FLAIR MRI.
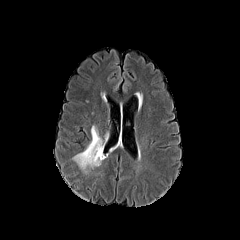
T1-weighted MR image.
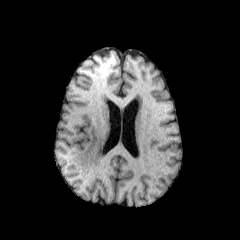
Post-contrast T1-weighted MRI.
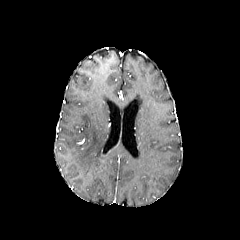
T2-weighted MRI.
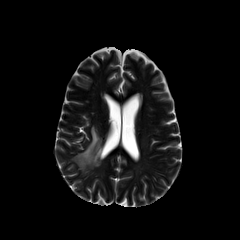
240x240 px.
peritumoral_edema:
  - bbox(72, 125, 114, 173)